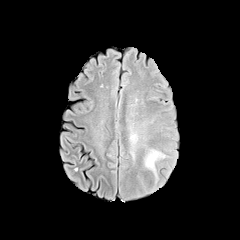
FLAIR MR image.
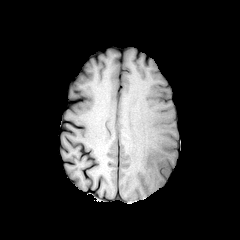
T1-weighted MRI.
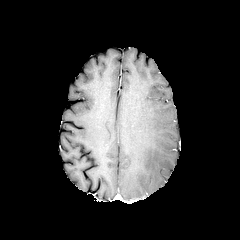
Post-contrast T1-weighted magnetic resonance of the same slice.
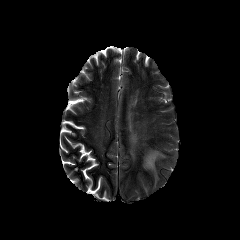
T2-weighted MR image.
Axial plane | Brain
peritumoral edema = <bbox>129, 134, 139, 162</bbox>, <bbox>144, 149, 165, 178</bbox>